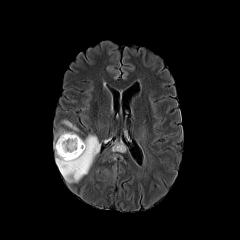
FLAIR MR.
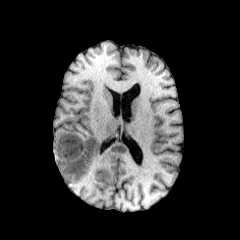
T1-weighted MR.
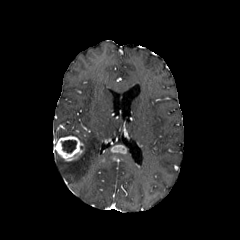
Post-contrast T1-weighted MRI of the same slice.
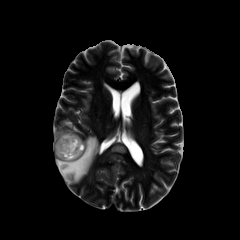
T2-weighted MRI.
Head
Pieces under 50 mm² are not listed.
<segmentation>
  <peritumoral_edema>box=[55, 130, 99, 183]</peritumoral_edema>
  <necrotic_tumor_core>box=[62, 140, 76, 153]</necrotic_tumor_core>
  <enhancing_tumor>box=[112, 145, 125, 152]; box=[54, 135, 84, 161]</enhancing_tumor>
</segmentation>